Image size 240x240 | Image covers 240 mm x 240 mm
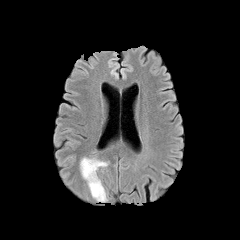
FLAIR MRI.
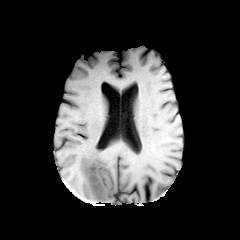
T1-weighted MR image of the same slice.
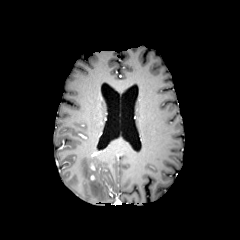
Same slice, post-contrast T1-weighted MR.
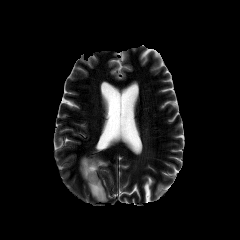
Same slice, T2-weighted MR image.
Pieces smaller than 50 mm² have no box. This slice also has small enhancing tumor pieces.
peritumoral edema: bounding box <box>80,157,107,201</box>